Axial plane; Head; Slice index 64
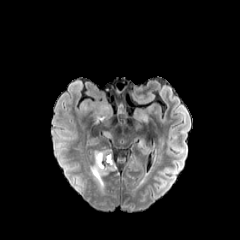
FLAIR MRI.
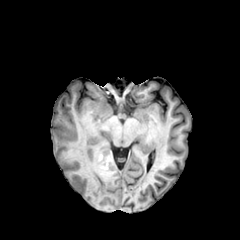
Same slice, T1-weighted MRI.
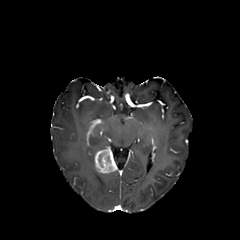
Post-contrast T1-weighted magnetic resonance of the same slice.
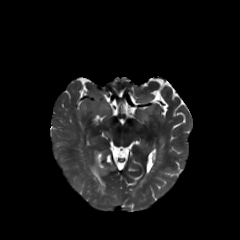
T2-weighted magnetic resonance.
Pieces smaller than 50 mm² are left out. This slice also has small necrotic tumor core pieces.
Annotated regions:
- enhancing tumor: l=94, t=148, r=117, b=173
- peritumoral edema: l=89, t=161, r=105, b=190